Slice 125 of 155
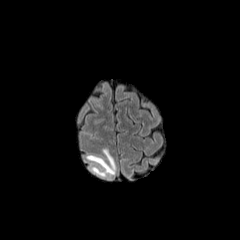
FLAIR MR image.
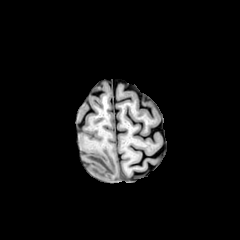
T1-weighted magnetic resonance.
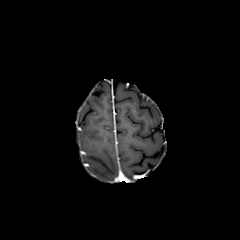
Post-contrast T1-weighted magnetic resonance.
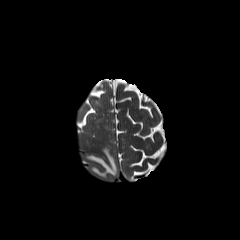
T2-weighted MR of the same slice.
peritumoral edema = (86,149,115,177)